Image width 240 mm | Slice 117 of 155
FLAIR MR.
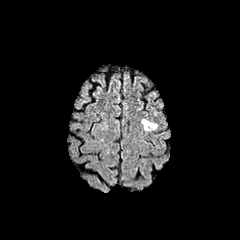
T1-weighted MRI.
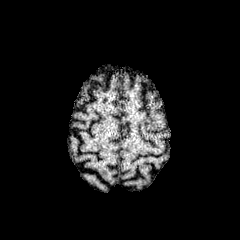
Post-contrast T1-weighted MR.
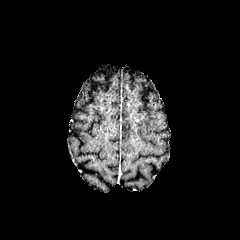
T2-weighted MRI.
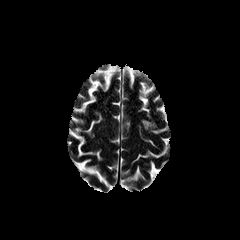
The peritumoral edema is at left=141, top=119, right=157, bottom=130.